Axial slice; Head; 240x240
FLAIR MR.
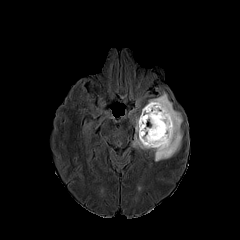
T1-weighted MR.
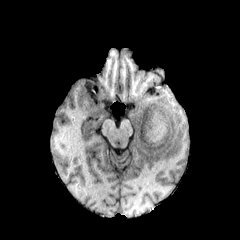
Post-contrast T1-weighted MR.
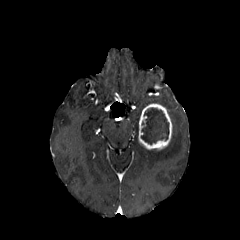
T2-weighted magnetic resonance.
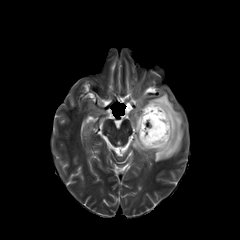
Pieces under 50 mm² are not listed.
Segmented structures:
• enhancing tumor: [x1=138, y1=103, x2=172, y2=150]
• necrotic tumor core: [x1=141, y1=108, x2=168, y2=144]
• peritumoral edema: [x1=129, y1=85, x2=184, y2=161]